Slice index 94
FLAIR magnetic resonance.
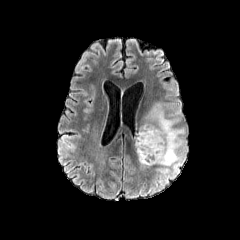
T1-weighted MRI.
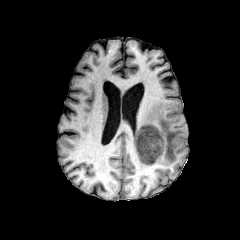
Post-contrast T1-weighted MR.
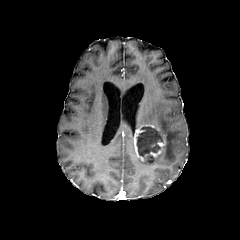
T2-weighted MRI.
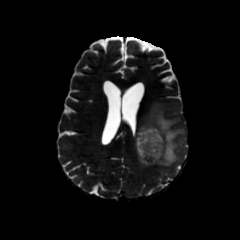
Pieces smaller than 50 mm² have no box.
The largest enhancing tumor region is bounded by <box>134,123,165,163</box>. The necrotic tumor core is bounded by <box>136,126,162,162</box>. The largest peritumoral edema region is at <box>138,103,187,172</box>.